FLAIR MR.
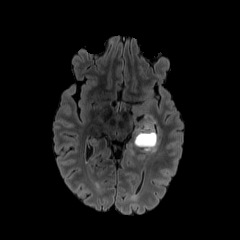
T1-weighted MR image.
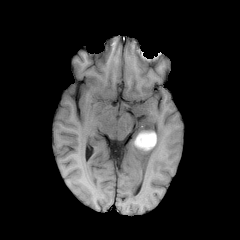
Post-contrast T1-weighted MR image.
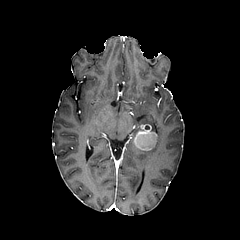
T2-weighted magnetic resonance.
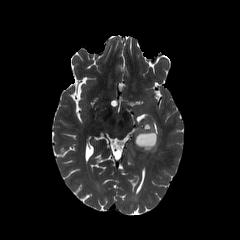
Brain.
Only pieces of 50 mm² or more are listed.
necrotic_tumor_core:
  - left=137, top=134, right=155, bottom=148
enhancing_tumor:
  - left=134, top=124, right=157, bottom=150
peritumoral_edema:
  - left=142, top=116, right=161, bottom=151